Brain, Slice 104/155
FLAIR MRI.
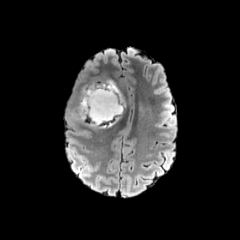
T1-weighted MR.
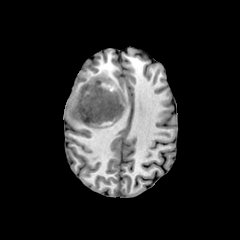
Post-contrast T1-weighted MR image.
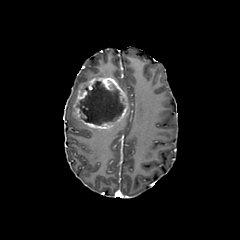
T2-weighted MRI.
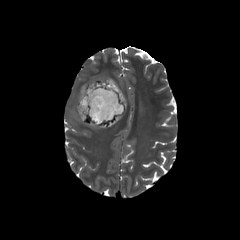
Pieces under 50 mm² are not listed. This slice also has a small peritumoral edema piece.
enhancing tumor: <bbox>73, 77, 127, 129</bbox> | necrotic tumor core: <bbox>77, 81, 124, 125</bbox>